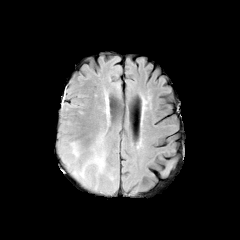
FLAIR MR.
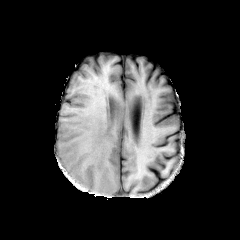
T1-weighted MR.
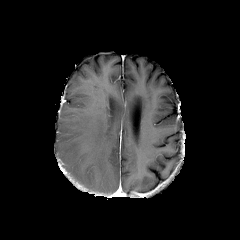
Post-contrast T1-weighted MR of the same slice.
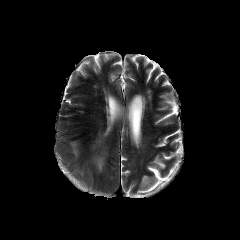
Same slice, T2-weighted magnetic resonance.
Axial slice | Image size 240x240
<segmentation>
  <peritumoral_edema>(x1=93, y1=156, x2=104, y2=171), (x1=72, y1=143, x2=78, y2=156)</peritumoral_edema>
</segmentation>